FLAIR MR image.
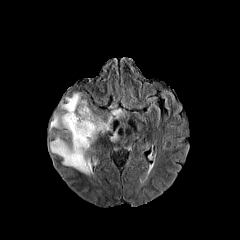
T1-weighted MR image.
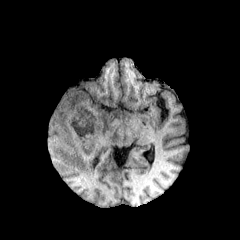
Post-contrast T1-weighted MR image.
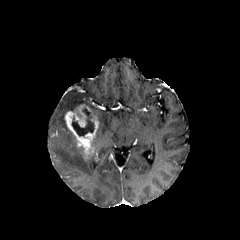
T2-weighted MRI.
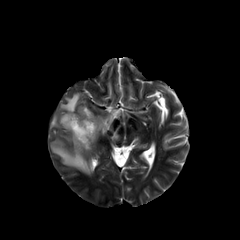
Head | Axial slice
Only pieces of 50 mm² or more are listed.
The enhancing tumor is located at box=[64, 104, 99, 154]. The 3 largest peritumoral edema regions appear at box=[60, 93, 87, 111]; box=[94, 109, 121, 140]; box=[50, 113, 92, 175]. The necrotic tumor core is bounded by box=[71, 108, 94, 136].